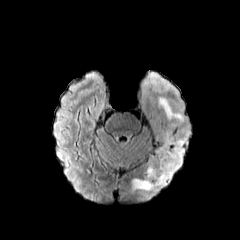
FLAIR MRI.
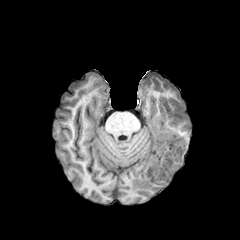
T1-weighted MR.
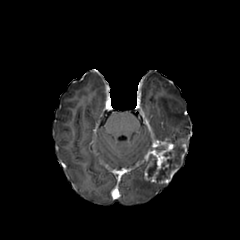
Post-contrast T1-weighted MR image.
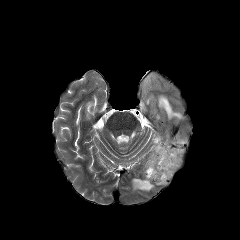
Same slice, T2-weighted MR.
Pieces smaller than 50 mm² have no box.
{
  "enhancing_tumor": [
    "l=144, t=138, r=186, b=184"
  ],
  "necrotic_tumor_core": [
    "l=156, t=158, r=177, b=181",
    "l=163, t=143, r=183, b=157",
    "l=147, t=158, r=157, b=177"
  ],
  "peritumoral_edema": [
    "l=159, t=97, r=183, b=123",
    "l=158, t=130, r=188, b=145",
    "l=131, t=178, r=166, b=191"
  ]
}